Axial plane; Slice index 62
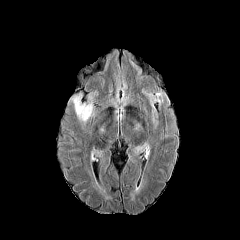
FLAIR MRI.
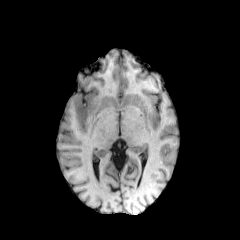
T1-weighted magnetic resonance of the same slice.
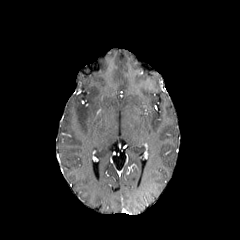
Post-contrast T1-weighted magnetic resonance.
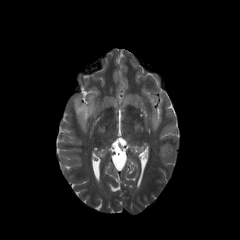
T2-weighted magnetic resonance.
The peritumoral edema appears at [x1=71, y1=86, x2=102, y2=132].